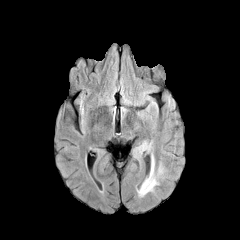
FLAIR MR image.
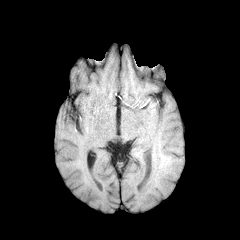
T1-weighted MRI of the same slice.
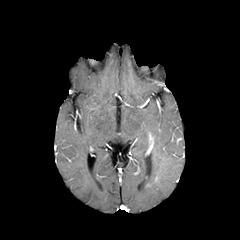
Post-contrast T1-weighted MR of the same slice.
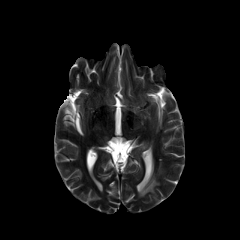
T2-weighted MR image.
Brain, Image size 240x240, Axial slice
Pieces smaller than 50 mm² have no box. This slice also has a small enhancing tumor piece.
The peritumoral edema is bounded by box=[137, 141, 162, 196].